Axial view. Slice 95/155.
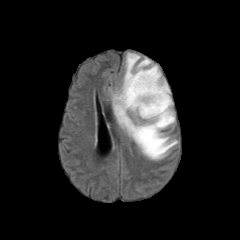
FLAIR magnetic resonance.
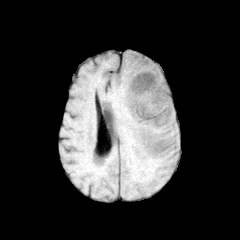
T1-weighted magnetic resonance.
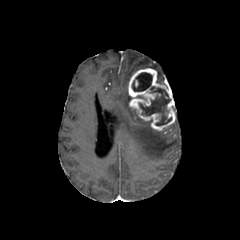
Post-contrast T1-weighted MR image of the same slice.
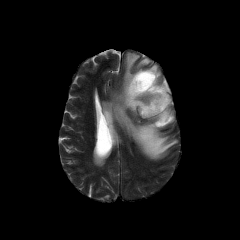
Same slice, T2-weighted MRI.
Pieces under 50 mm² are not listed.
enhancing tumor: [128,68,175,130] | peritumoral edema: [148,65,163,82], [112,52,177,160] | necrotic tumor core: [132,72,152,91], [139,87,171,125]